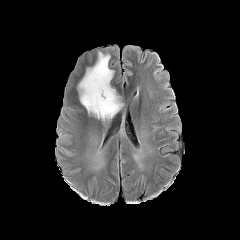
FLAIR MR.
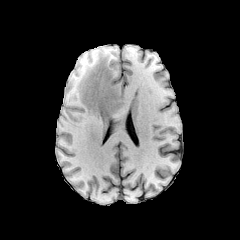
Same slice, T1-weighted magnetic resonance.
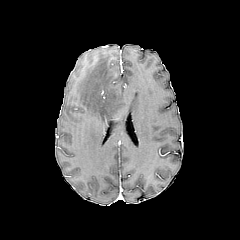
Post-contrast T1-weighted magnetic resonance of the same slice.
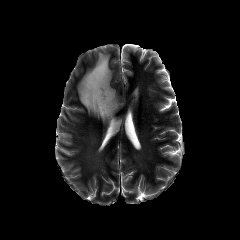
Same slice, T2-weighted MR.
240x240 | Head
peritumoral_edema:
  - left=78, top=52, right=123, bottom=121